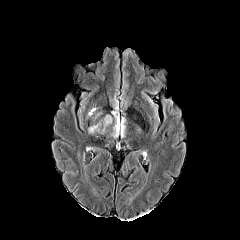
FLAIR magnetic resonance.
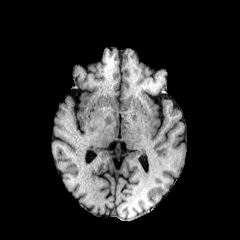
T1-weighted magnetic resonance.
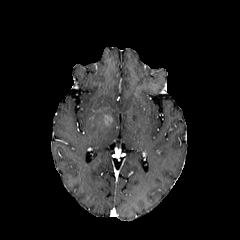
Post-contrast T1-weighted MR image.
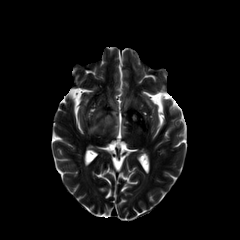
Same slice, T2-weighted magnetic resonance.
Axial view
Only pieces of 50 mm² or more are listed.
<segmentation>
  <peritumoral_edema>(x1=111, y1=99, x2=125, y2=137), (x1=87, y1=108, x2=96, y2=117), (x1=88, y1=119, x2=107, y2=133)</peritumoral_edema>
  <enhancing_tumor>(x1=104, y1=115, x2=112, y2=125)</enhancing_tumor>
</segmentation>